240x240. Head. Axial view.
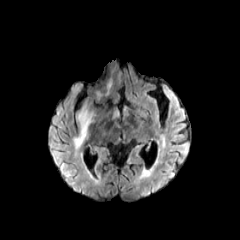
FLAIR magnetic resonance.
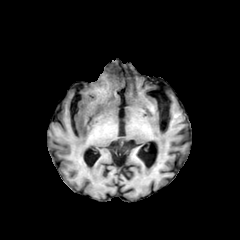
T1-weighted magnetic resonance.
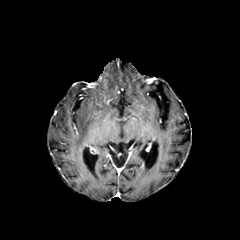
Post-contrast T1-weighted MRI of the same slice.
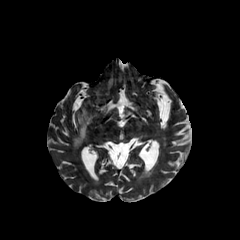
T2-weighted MRI.
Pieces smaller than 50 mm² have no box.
peritumoral edema: bounding box [73,107,92,148]